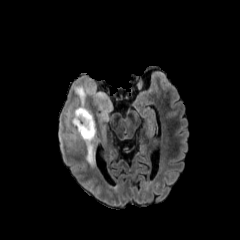
FLAIR MR image.
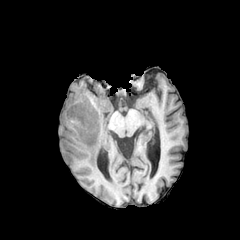
Same slice, T1-weighted MR.
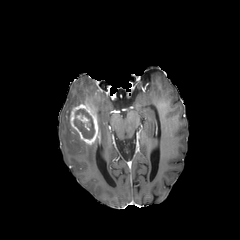
Post-contrast T1-weighted MR.
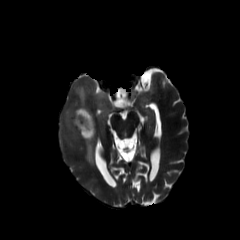
T2-weighted magnetic resonance.
Brain. 240x240 px.
{
  "enhancing_tumor": [
    "x1=69 y1=100 x2=99 y2=145"
  ],
  "peritumoral_edema": [
    "x1=60 y1=86 x2=115 y2=168"
  ],
  "necrotic_tumor_core": [
    "x1=74 y1=109 x2=94 y2=138"
  ]
}